Slice index 128; Image size 240x240; Axial slice; Brain
FLAIR MR.
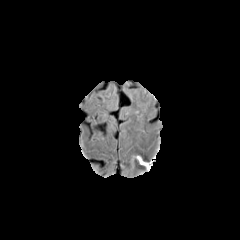
T1-weighted MRI.
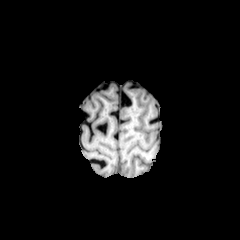
Post-contrast T1-weighted MRI.
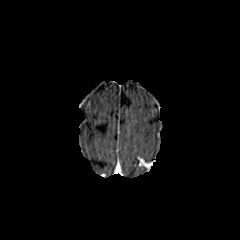
T2-weighted MRI.
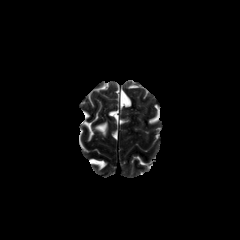
enhancing tumor at box=[138, 157, 152, 169]